Axial view; Slice 54 of 155; Brain
FLAIR MR.
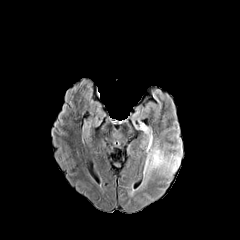
T1-weighted MRI.
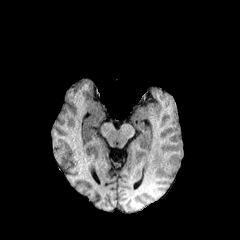
Post-contrast T1-weighted MR.
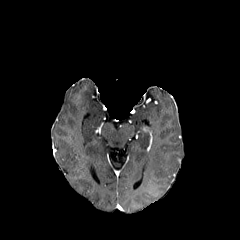
T2-weighted MR.
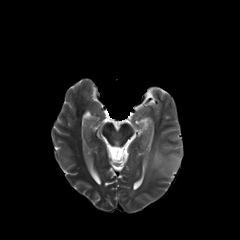
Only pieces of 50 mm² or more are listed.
peritumoral edema: bounding box rect(140, 125, 182, 176)